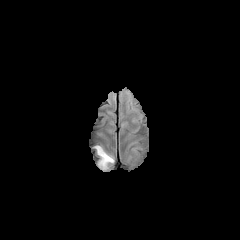
FLAIR magnetic resonance.
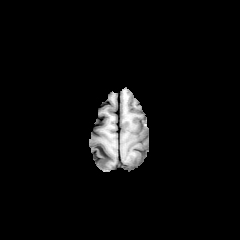
Same slice, T1-weighted MR image.
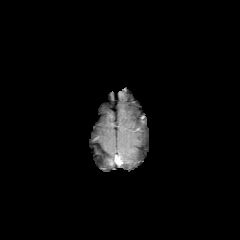
Post-contrast T1-weighted MR of the same slice.
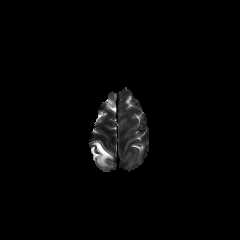
T2-weighted magnetic resonance of the same slice.
Head, Axial view
{"peritumoral_edema": ["<bbox>96, 145, 113, 167</bbox>"]}